Brain. Slice 63/155. Axial plane.
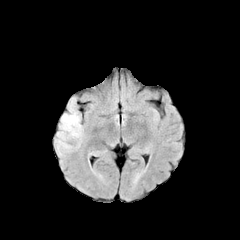
FLAIR magnetic resonance.
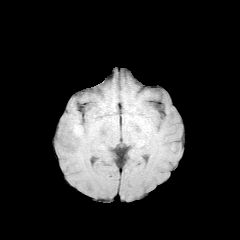
T1-weighted magnetic resonance.
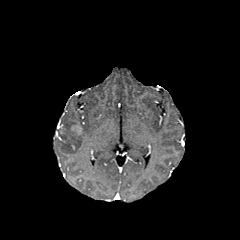
Post-contrast T1-weighted MR.
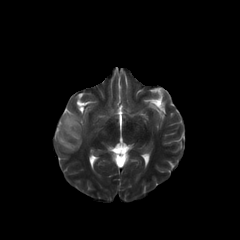
T2-weighted MR.
- enhancing tumor: box=[71, 123, 80, 132]
- peritumoral edema: box=[55, 95, 84, 155]